FLAIR magnetic resonance.
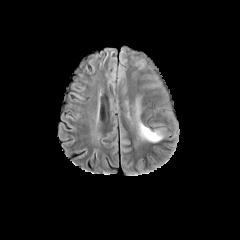
T1-weighted MR image.
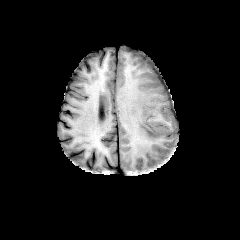
Post-contrast T1-weighted MR image.
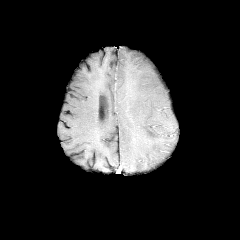
T2-weighted MRI.
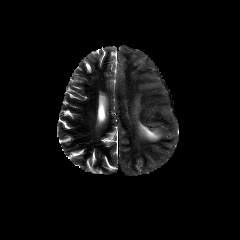
240x240 px, Head
Annotated regions:
• peritumoral edema: x1=136, y1=101, x2=162, y2=141